Axial slice.
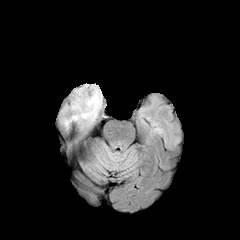
FLAIR MR image.
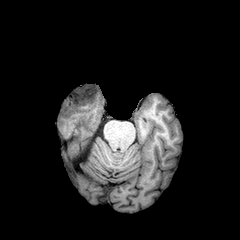
Same slice, T1-weighted MR.
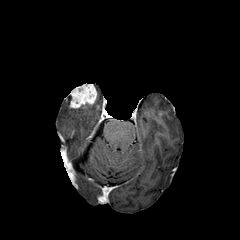
Post-contrast T1-weighted MR image.
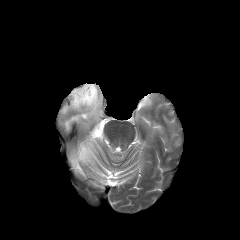
T2-weighted MR image.
peritumoral_edema:
  - bbox=[62, 84, 102, 129]
enhancing_tumor:
  - bbox=[69, 83, 97, 108]